Axial plane. Slice index 54. Head.
FLAIR MRI.
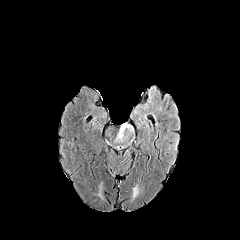
T1-weighted magnetic resonance.
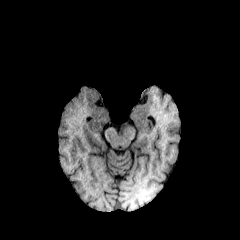
Post-contrast T1-weighted magnetic resonance.
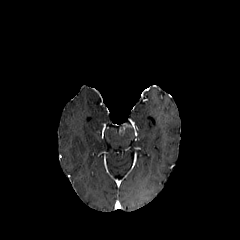
T2-weighted MR image.
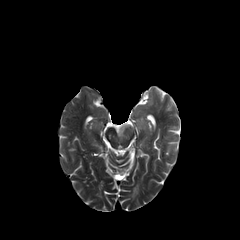
peritumoral edema at <bbox>117, 122, 134, 138</bbox>, <bbox>133, 184, 138, 198</bbox>